Image size 240x240; Head; Image width 240 mm
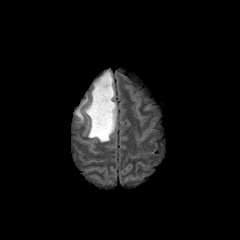
FLAIR MRI.
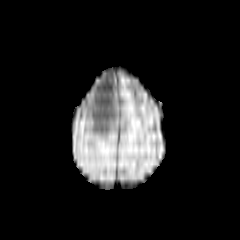
T1-weighted MR image.
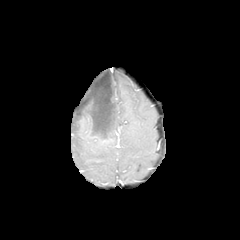
Same slice, post-contrast T1-weighted MR.
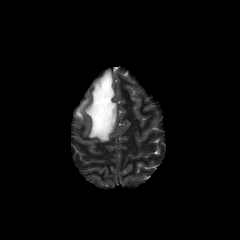
T2-weighted MRI.
peritumoral edema: [76, 71, 117, 142]